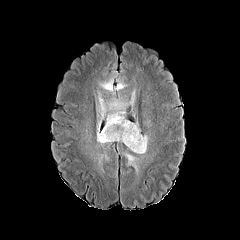
FLAIR magnetic resonance.
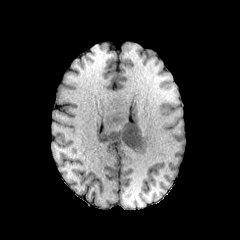
Same slice, T1-weighted MR.
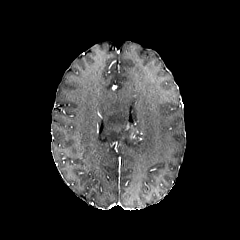
Same slice, post-contrast T1-weighted magnetic resonance.
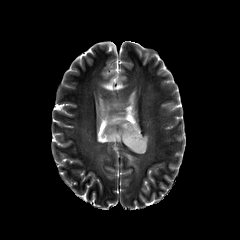
T2-weighted MR.
Image size 240x240, Axial plane
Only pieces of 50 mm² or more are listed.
<segmentation>
  <peritumoral_edema>(x1=97, y1=92, x2=148, y2=154), (x1=125, y1=153, x2=136, y2=168), (x1=99, y1=78, x2=114, y2=94)</peritumoral_edema>
  <enhancing_tumor>(x1=103, y1=131, x2=113, y2=137), (x1=126, y1=124, x2=141, y2=139)</enhancing_tumor>
</segmentation>